Slice 82/155
FLAIR MR.
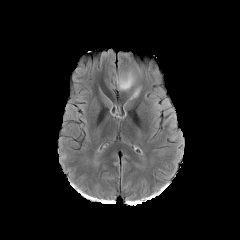
T1-weighted MR image.
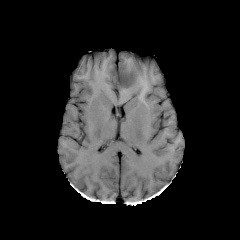
Post-contrast T1-weighted MR.
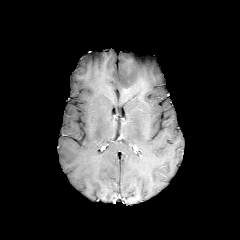
T2-weighted magnetic resonance.
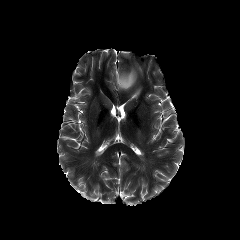
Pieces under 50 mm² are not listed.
<segmentation>
  <peritumoral_edema>[130, 87, 140, 99], [115, 69, 137, 90]</peritumoral_edema>
</segmentation>